FLAIR MR.
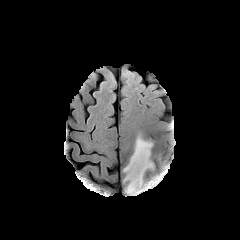
T1-weighted MR image.
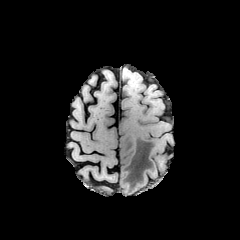
Post-contrast T1-weighted MR.
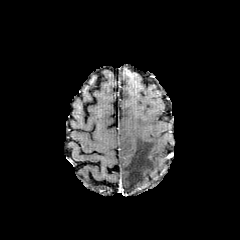
T2-weighted MR image.
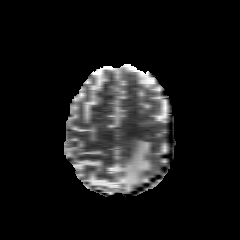
2 peritumoral edema regions are bounded by x1=123, y1=137, x2=153, y2=193; x1=145, y1=179, x2=160, y2=189.